FLAIR MRI.
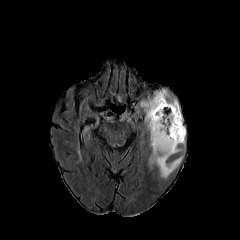
T1-weighted MR.
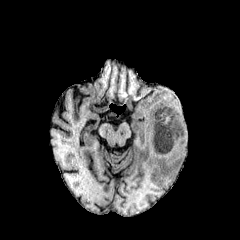
Post-contrast T1-weighted MR image.
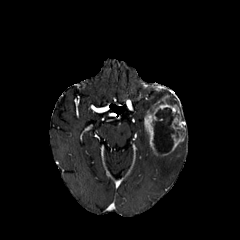
T2-weighted MRI.
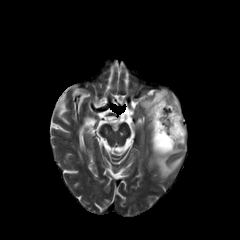
Head
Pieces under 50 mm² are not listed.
enhancing tumor: box=[144, 95, 185, 156]
peritumoral edema: box=[140, 89, 178, 112]; box=[149, 146, 183, 178]
necrotic tumor core: box=[153, 107, 181, 153]